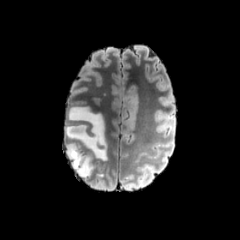
FLAIR MR image.
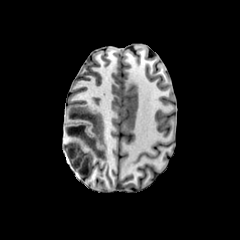
T1-weighted MR.
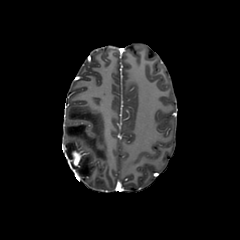
Post-contrast T1-weighted magnetic resonance of the same slice.
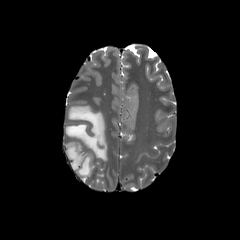
T2-weighted MR of the same slice.
240x240 px; Head
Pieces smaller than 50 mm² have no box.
The largest peritumoral edema region is located at x1=65, y1=106, x2=107, y2=177. The enhancing tumor lies within x1=71, y1=150, x2=82, y2=166.